FLAIR MR.
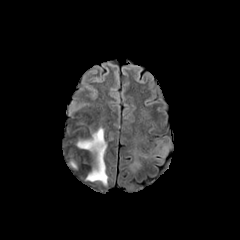
T1-weighted MR.
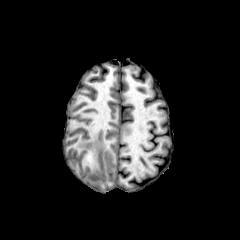
Post-contrast T1-weighted magnetic resonance.
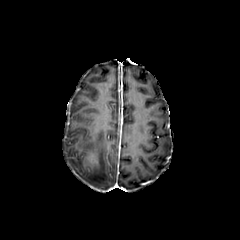
T2-weighted MR.
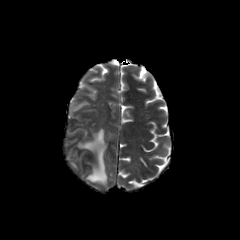
Brain
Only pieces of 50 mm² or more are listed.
Findings:
• peritumoral edema: x1=76 y1=127 x2=107 y2=186